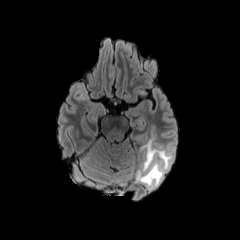
FLAIR MRI.
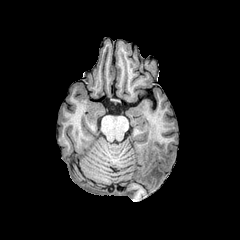
T1-weighted magnetic resonance of the same slice.
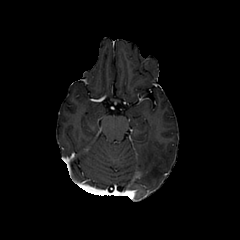
Same slice, post-contrast T1-weighted MR image.
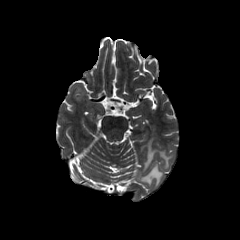
T2-weighted MR.
Head; Axial view; Image size 240x240
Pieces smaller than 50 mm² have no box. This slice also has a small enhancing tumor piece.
peritumoral_edema:
  - bbox(136, 138, 172, 189)